FLAIR MR.
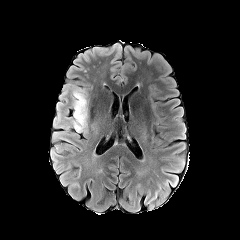
T1-weighted MR image.
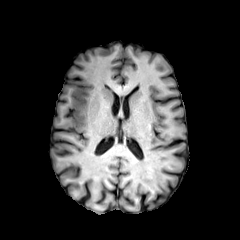
Post-contrast T1-weighted MRI.
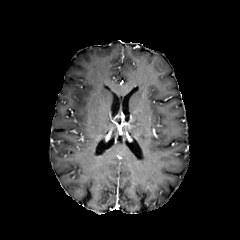
T2-weighted MRI.
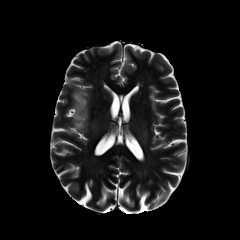
Head | Axial view
peritumoral_edema:
  - rect(71, 87, 88, 133)